Axial plane
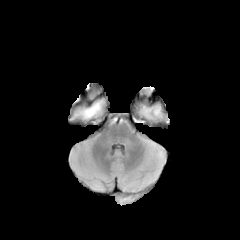
FLAIR MRI.
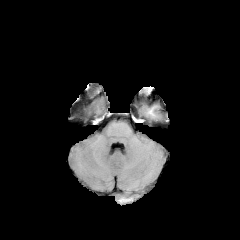
T1-weighted MR.
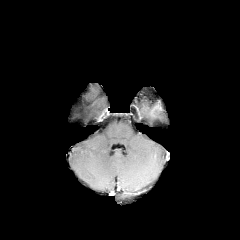
Same slice, post-contrast T1-weighted magnetic resonance.
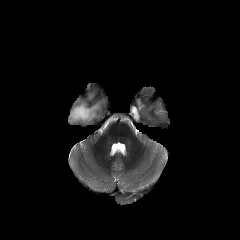
T2-weighted magnetic resonance.
peritumoral_edema:
  - box=[69, 83, 107, 123]